FLAIR MRI.
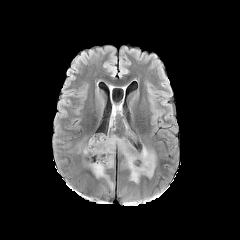
T1-weighted magnetic resonance.
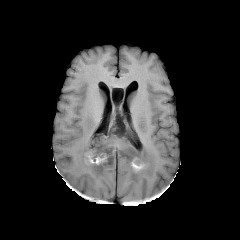
Post-contrast T1-weighted MR.
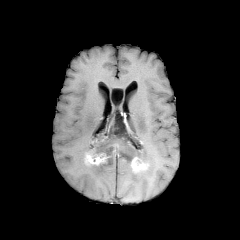
T2-weighted magnetic resonance.
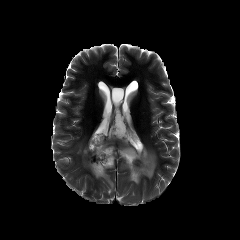
Image size 240x240 | Head
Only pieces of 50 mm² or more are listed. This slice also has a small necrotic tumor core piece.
enhancing tumor: bounding box bbox(131, 157, 147, 171); bbox(84, 150, 108, 165)
peritumoral edema: bounding box bbox(79, 134, 156, 188)